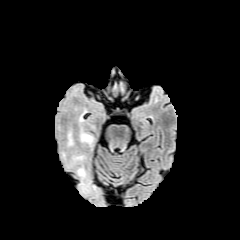
FLAIR magnetic resonance.
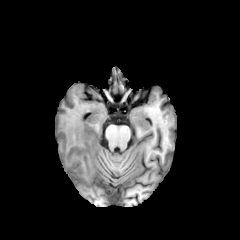
T1-weighted magnetic resonance of the same slice.
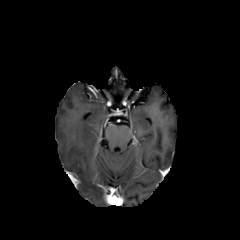
Post-contrast T1-weighted magnetic resonance.
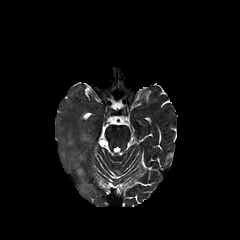
T2-weighted magnetic resonance.
Brain, Axial view
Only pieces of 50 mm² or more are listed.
peritumoral edema at 67,130,73,146; 79,127,93,144; 77,167,85,176